Axial slice; Slice index 67
FLAIR magnetic resonance.
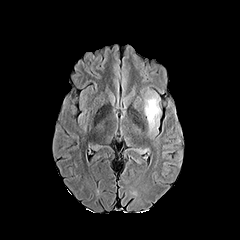
T1-weighted MR image.
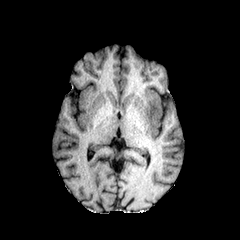
Post-contrast T1-weighted MR.
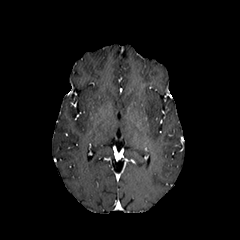
T2-weighted MR.
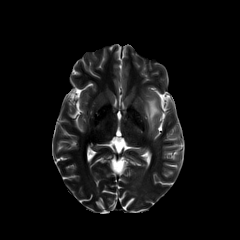
peritumoral edema: bbox(145, 96, 160, 129)